FLAIR MR.
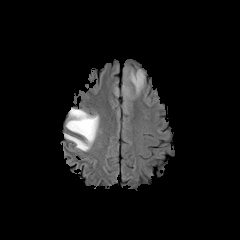
T1-weighted MR.
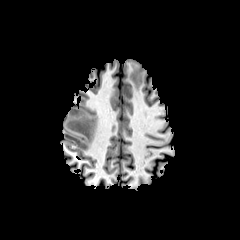
Post-contrast T1-weighted magnetic resonance.
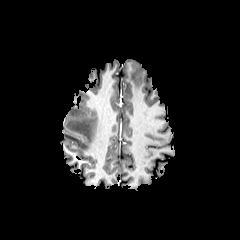
T2-weighted MR image.
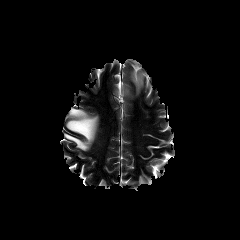
Axial slice; 240x240 px
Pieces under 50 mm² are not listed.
peritumoral edema: {"x1": 126, "y1": 68, "x2": 144, "y2": 94}, {"x1": 122, "y1": 85, "x2": 132, "y2": 96}, {"x1": 64, "y1": 108, "x2": 99, "y2": 151}